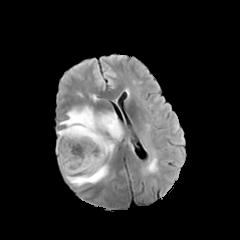
FLAIR MR.
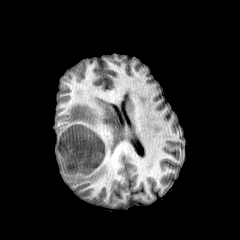
T1-weighted magnetic resonance of the same slice.
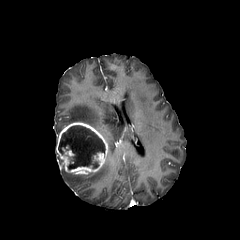
Post-contrast T1-weighted magnetic resonance of the same slice.
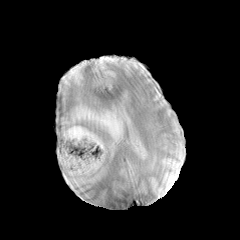
Same slice, T2-weighted magnetic resonance.
240x240
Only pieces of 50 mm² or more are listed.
The 2 largest peritumoral edema regions appear at 62:163:108:186, 59:105:122:156. The largest enhancing tumor region is bounded by 56:122:108:174. The largest necrotic tumor core region lies within 58:126:105:169.